FLAIR MR.
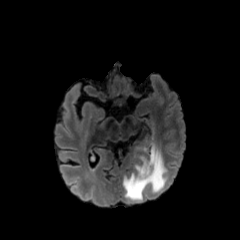
T1-weighted MRI.
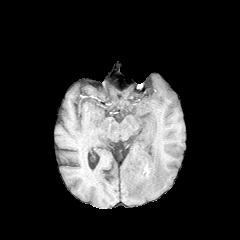
Post-contrast T1-weighted MR image.
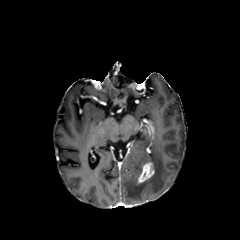
T2-weighted MR.
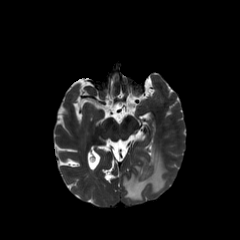
Image size 240x240
{"enhancing_tumor": ["left=138, top=162, right=154, bottom=183"], "peritumoral_edema": ["left=123, top=145, right=166, bottom=200"]}